240x240; Head; Slice 77 of 155; Axial plane
FLAIR MRI.
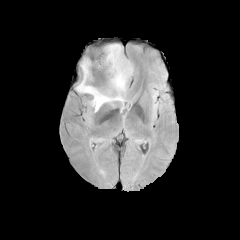
T1-weighted MRI.
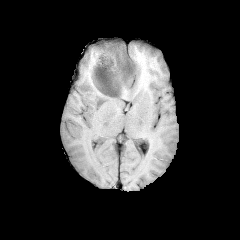
Post-contrast T1-weighted MRI.
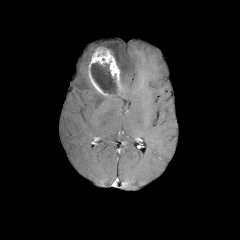
T2-weighted MRI.
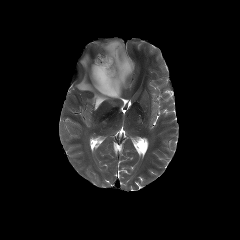
peritumoral edema — [x1=76, y1=58, x2=123, y2=110], [x1=105, y1=43, x2=133, y2=91]
necrotic tumor core — [x1=90, y1=63, x2=117, y2=94]
enhancing tumor — [x1=87, y1=46, x2=124, y2=97]